Slice 41/155
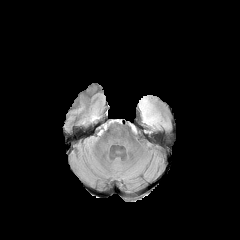
FLAIR MRI.
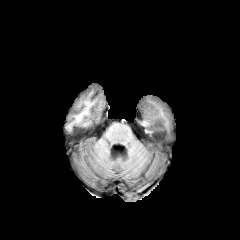
T1-weighted MR image of the same slice.
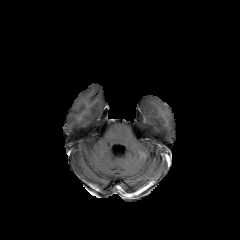
Post-contrast T1-weighted MRI.
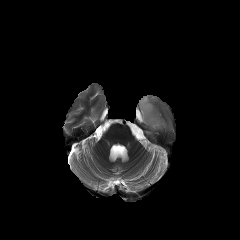
T2-weighted MRI.
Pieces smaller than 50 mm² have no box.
peritumoral edema: 139, 96, 166, 129